FLAIR MR image.
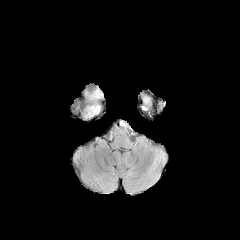
T1-weighted MRI.
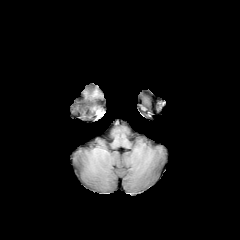
Post-contrast T1-weighted magnetic resonance.
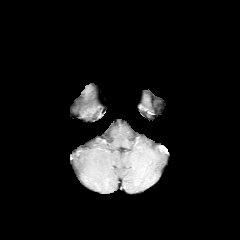
T2-weighted MR image.
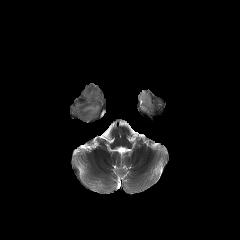
Axial view. Head.
peritumoral edema: rect(87, 105, 99, 116)